FLAIR MR image.
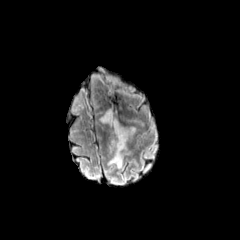
T1-weighted MRI.
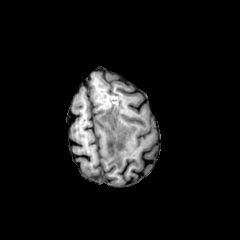
Post-contrast T1-weighted MRI.
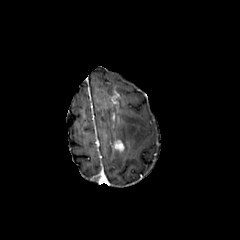
T2-weighted MR image.
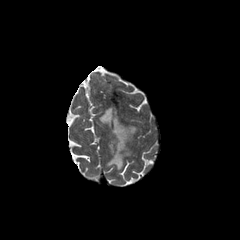
Axial slice | Head
- enhancing tumor: 113 139 124 151
- peritumoral edema: 99 109 137 168